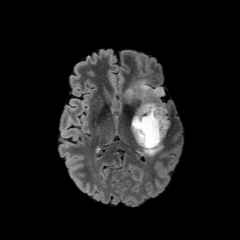
FLAIR MR image.
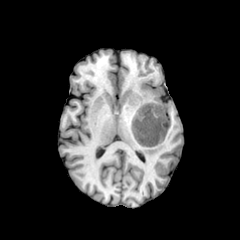
T1-weighted MR image.
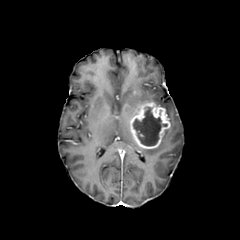
Post-contrast T1-weighted MRI.
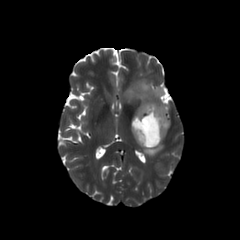
Same slice, T2-weighted MRI.
Axial view
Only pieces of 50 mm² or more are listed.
• necrotic tumor core: region(133, 107, 167, 146)
• peritumoral edema: region(124, 80, 167, 113); region(142, 141, 162, 156)
• enhancing tumor: region(130, 102, 169, 148)